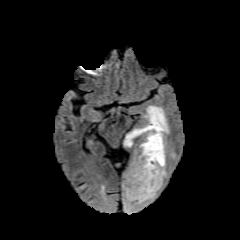
FLAIR MR.
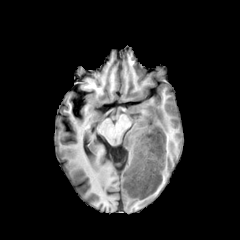
T1-weighted MRI of the same slice.
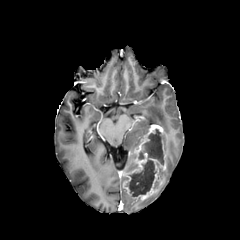
Post-contrast T1-weighted MR image.
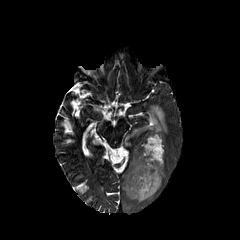
Same slice, T2-weighted MR image.
Head
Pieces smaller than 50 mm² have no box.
The enhancing tumor is at <box>123,124,166,200</box>. The 2 largest peritumoral edema regions are located at <box>122,184,156,212</box>, <box>124,105,169,147</box>. 2 necrotic tumor core regions are located at <box>138,129,162,164</box>, <box>126,159,156,196</box>.